FLAIR MR image.
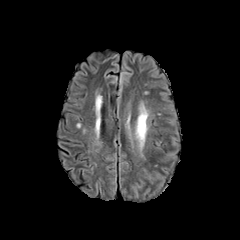
T1-weighted MRI.
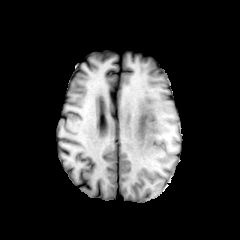
Post-contrast T1-weighted MR image.
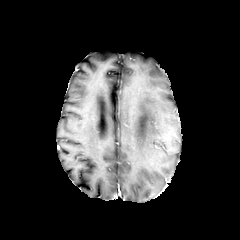
T2-weighted magnetic resonance.
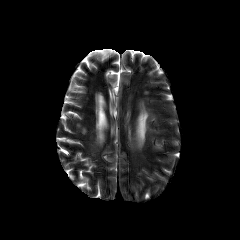
Axial plane; Head
peritumoral edema: 135:105:148:146